FLAIR MRI.
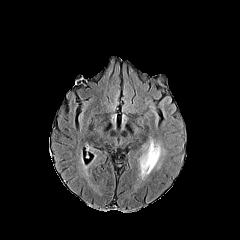
T1-weighted MR.
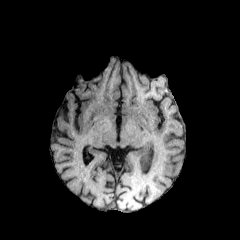
Post-contrast T1-weighted MR.
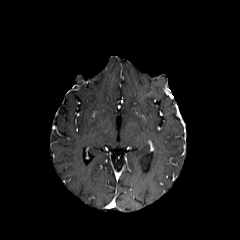
T2-weighted MR.
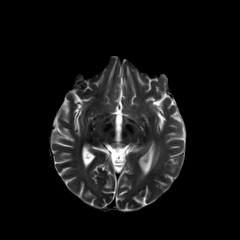
Segmented structures:
- peritumoral edema: (x1=141, y1=144, x2=161, y2=176)